Slice 76 of 155. Head. Image covers 240 mm x 240 mm.
FLAIR magnetic resonance.
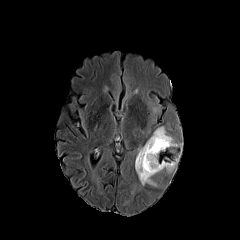
T1-weighted MR.
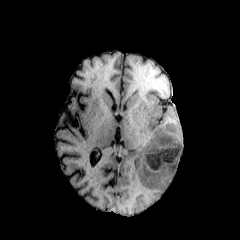
Post-contrast T1-weighted MRI.
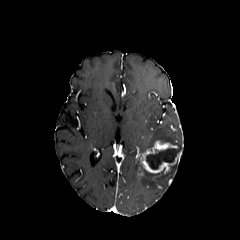
T2-weighted MR image.
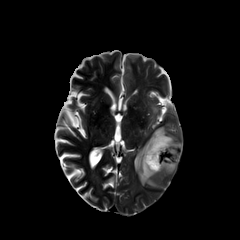
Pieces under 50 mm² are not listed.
enhancing tumor: (left=136, top=140, right=181, bottom=173)
necrotic tumor core: (left=146, top=149, right=178, bottom=169)
peritumoral edema: (left=139, top=126, right=180, bottom=153), (left=135, top=158, right=156, bottom=186)